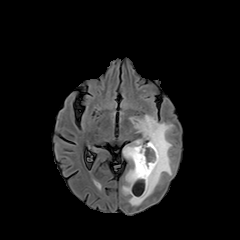
FLAIR MRI.
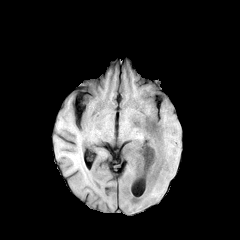
T1-weighted MRI.
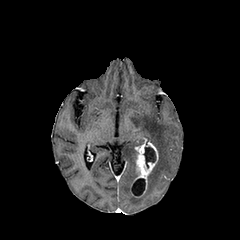
Post-contrast T1-weighted MR image.
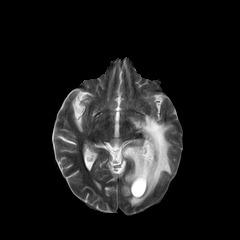
Same slice, T2-weighted magnetic resonance.
Brain, 240x240 px, Axial slice
enhancing tumor: bounding box 134:141:158:196
necrotic tumor core: bounding box 144:147:155:167, 132:178:145:196
peritumoral edema: bounding box 122:114:172:205